Axial view; Brain
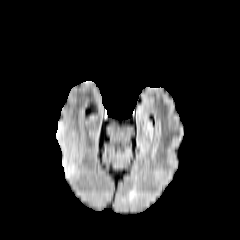
FLAIR MR image.
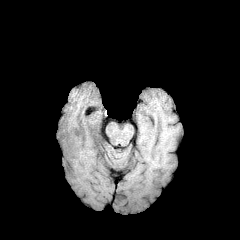
T1-weighted magnetic resonance.
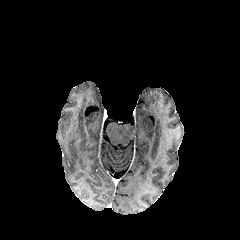
Same slice, post-contrast T1-weighted MR.
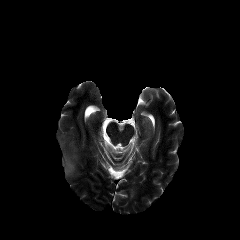
T2-weighted MR.
The peritumoral edema is bounded by 56:122:76:177.